FLAIR MRI.
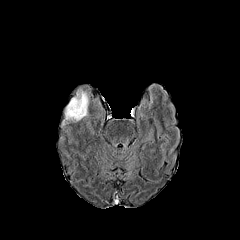
T1-weighted MR.
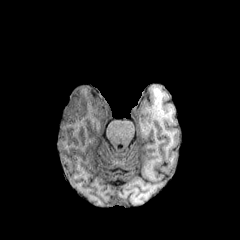
Post-contrast T1-weighted MRI.
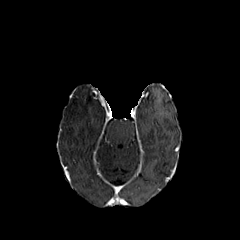
T2-weighted MR image.
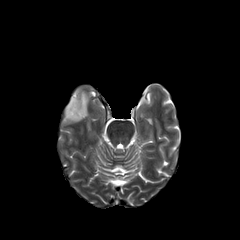
Axial plane | Brain
peritumoral_edema:
  - bbox(64, 89, 88, 123)